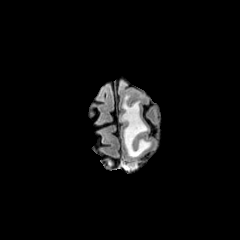
FLAIR magnetic resonance.
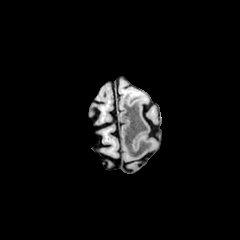
T1-weighted magnetic resonance.
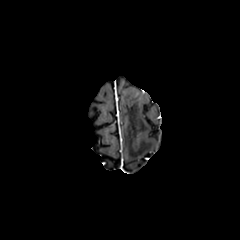
Post-contrast T1-weighted MRI of the same slice.
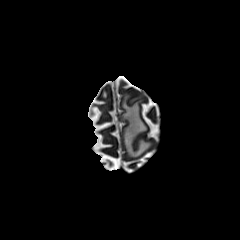
T2-weighted MR image.
Head.
The peritumoral edema is bounded by [x1=120, y1=94, x2=151, y2=157].